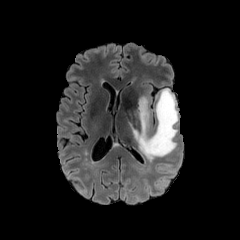
FLAIR magnetic resonance.
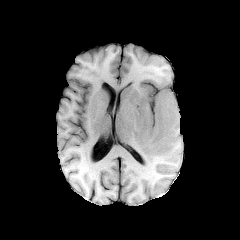
Same slice, T1-weighted MR image.
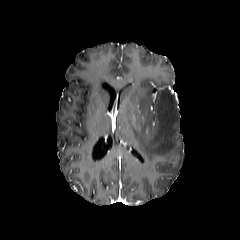
Post-contrast T1-weighted magnetic resonance.
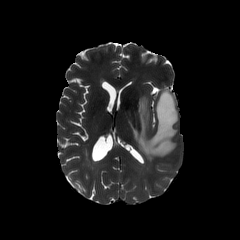
T2-weighted magnetic resonance.
The peritumoral edema is at box=[131, 88, 178, 161].